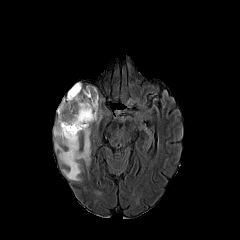
FLAIR MR image.
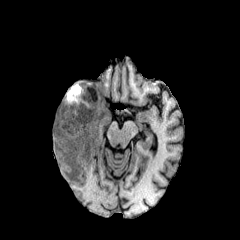
T1-weighted MR image.
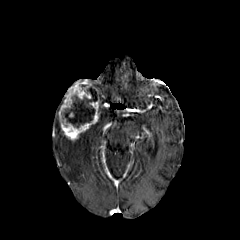
Post-contrast T1-weighted magnetic resonance of the same slice.
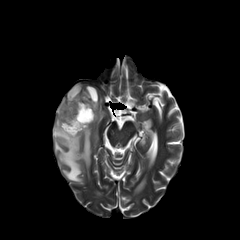
T2-weighted magnetic resonance.
Head
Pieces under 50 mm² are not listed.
{
  "enhancing_tumor": [
    "<box>58,83,100,141</box>"
  ],
  "peritumoral_edema": [
    "<box>54,118,90,181</box>"
  ],
  "necrotic_tumor_core": [
    "<box>63,85,97,127</box>"
  ]
}